Slice index 67. Image width 240 mm. Axial plane.
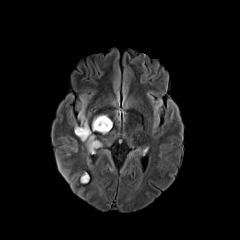
FLAIR MRI.
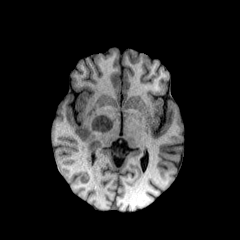
T1-weighted magnetic resonance of the same slice.
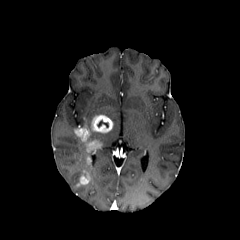
Same slice, post-contrast T1-weighted MR image.
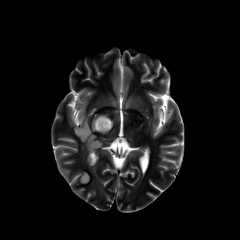
T2-weighted magnetic resonance of the same slice.
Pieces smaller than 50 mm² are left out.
necrotic tumor core: bbox(97, 120, 108, 127)
peritumoral edema: bbox(78, 111, 88, 127)
enhancing tumor: bbox(80, 173, 89, 183); bbox(74, 125, 101, 153); bbox(91, 115, 112, 133)